Head | Slice 83/155
FLAIR magnetic resonance.
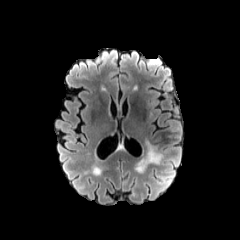
T1-weighted MR.
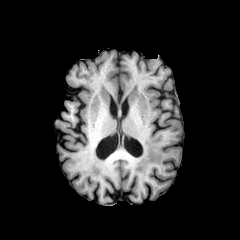
Post-contrast T1-weighted magnetic resonance.
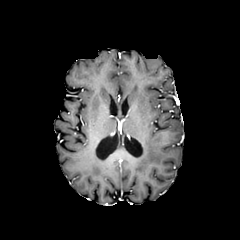
T2-weighted MRI.
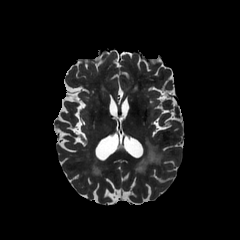
peritumoral edema — region(135, 139, 162, 173)